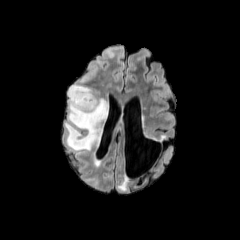
FLAIR MR.
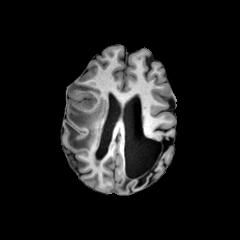
T1-weighted MR of the same slice.
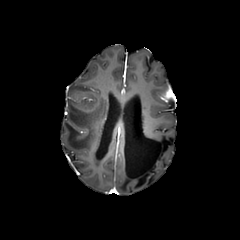
Post-contrast T1-weighted MRI.
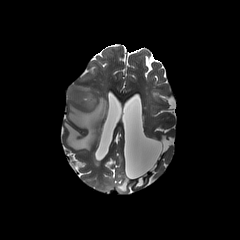
Same slice, T2-weighted MR image.
Brain
{
  "peritumoral_edema": [
    "box(64, 84, 108, 150)"
  ]
}